Image width 240 mm; 240x240
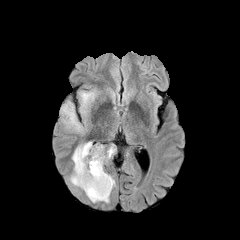
FLAIR magnetic resonance.
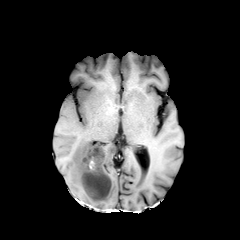
T1-weighted MR of the same slice.
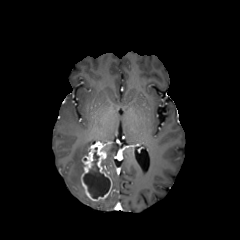
Post-contrast T1-weighted MR image.
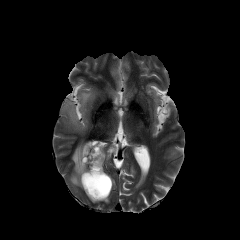
T2-weighted MRI of the same slice.
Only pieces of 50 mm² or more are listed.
necrotic tumor core: bbox=[83, 152, 110, 198] | enhancing tumor: bbox=[81, 143, 112, 201] | peritumoral edema: bbox=[70, 141, 93, 189]; bbox=[62, 101, 82, 131]; bbox=[80, 92, 95, 114]; bbox=[103, 144, 116, 163]